Head
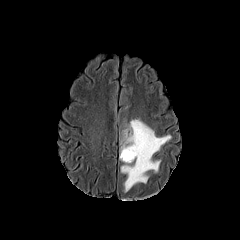
FLAIR magnetic resonance.
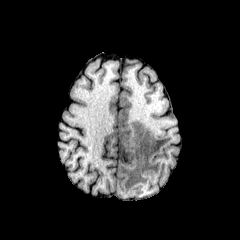
T1-weighted MRI.
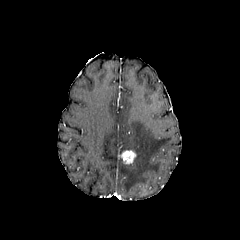
Post-contrast T1-weighted MR image.
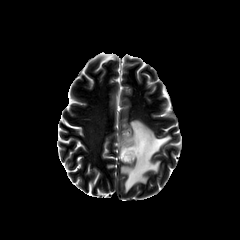
T2-weighted magnetic resonance.
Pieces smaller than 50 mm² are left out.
{
  "enhancing_tumor": [
    "bbox(119, 150, 136, 164)"
  ],
  "peritumoral_edema": [
    "bbox(120, 119, 171, 191)"
  ]
}